FLAIR MRI.
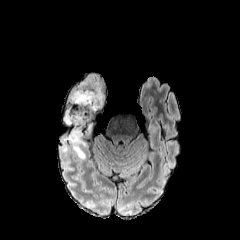
T1-weighted MR image.
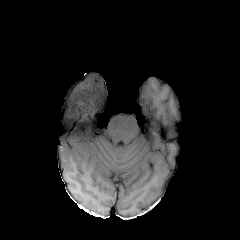
Post-contrast T1-weighted MRI.
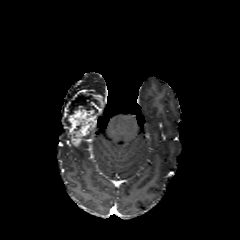
T2-weighted MR.
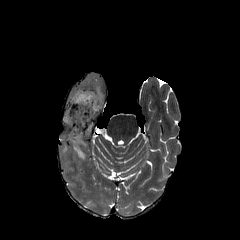
Head
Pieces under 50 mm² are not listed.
{"peritumoral_edema": ["x1=72 y1=144 x2=85 y2=159", "x1=63 y1=85 x2=85 y2=125"], "enhancing_tumor": ["x1=69 y1=90 x2=102 y2=146"], "necrotic_tumor_core": ["x1=73 y1=92 x2=100 y2=116"]}